FLAIR MR.
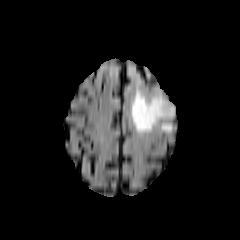
T1-weighted MR.
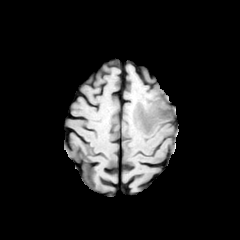
Post-contrast T1-weighted MRI.
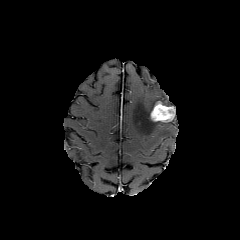
T2-weighted MR image.
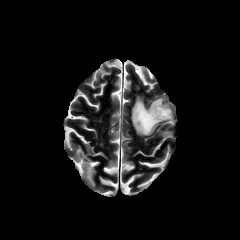
Brain. 240x240 px.
The peritumoral edema lies within 131,90,171,134. The enhancing tumor is at 150,101,175,122.